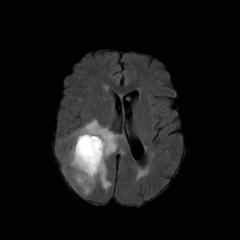
FLAIR magnetic resonance.
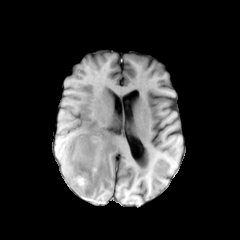
Same slice, T1-weighted MR image.
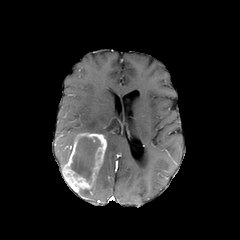
Same slice, post-contrast T1-weighted MR.
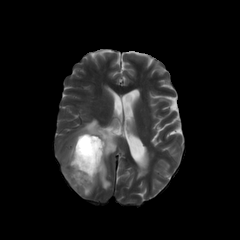
T2-weighted MR image.
Axial slice. 240x240. Head.
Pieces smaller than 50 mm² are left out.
peritumoral edema: rect(72, 119, 122, 190); rect(80, 190, 91, 195) | enhancing tumor: rect(62, 132, 106, 193) | necrotic tumor core: rect(71, 136, 100, 180)